FLAIR MR.
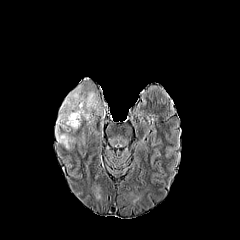
T1-weighted magnetic resonance.
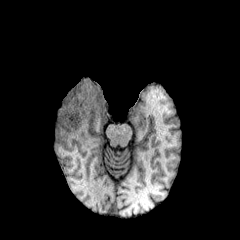
Post-contrast T1-weighted MRI.
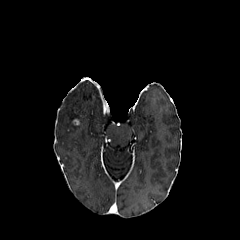
T2-weighted MR.
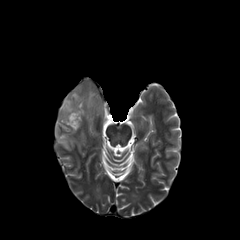
Brain
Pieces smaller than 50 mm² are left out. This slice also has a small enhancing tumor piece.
Annotated regions:
* peritumoral edema: box(56, 85, 102, 149)